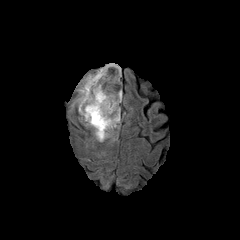
FLAIR MR.
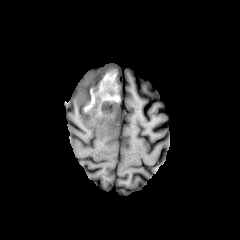
T1-weighted MRI.
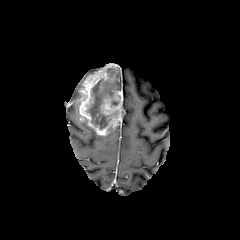
Post-contrast T1-weighted MRI.
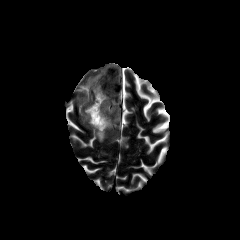
Same slice, T2-weighted MR image.
Brain
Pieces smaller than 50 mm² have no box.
The largest peritumoral edema region appears at bbox(94, 131, 114, 141). The largest enhancing tumor region is at bbox(76, 63, 124, 135). The largest necrotic tumor core region appears at bbox(87, 68, 120, 129).